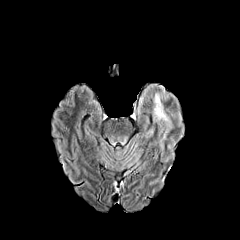
FLAIR MRI.
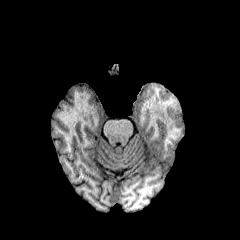
T1-weighted magnetic resonance of the same slice.
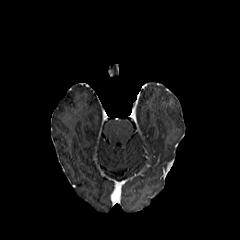
Post-contrast T1-weighted MR image.
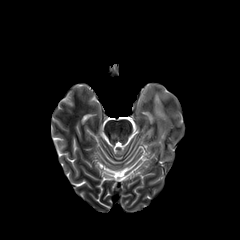
Same slice, T2-weighted MR image.
Head
Segmented structures:
• peritumoral edema: [154, 94, 168, 120]